FLAIR MR image.
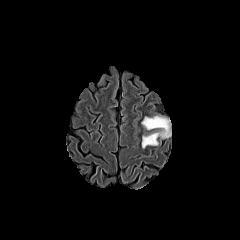
T1-weighted MR.
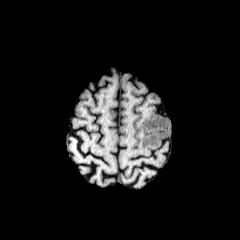
Post-contrast T1-weighted MR.
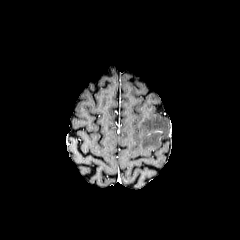
T2-weighted MR.
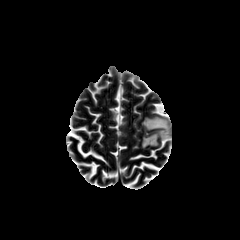
240x240 px | Axial plane | Head
peritumoral_edema:
  - [141,116,170,148]